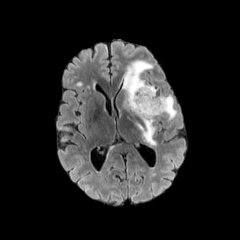
FLAIR MR image.
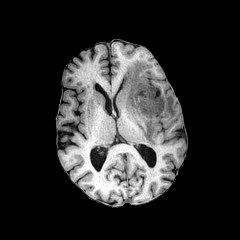
T1-weighted magnetic resonance.
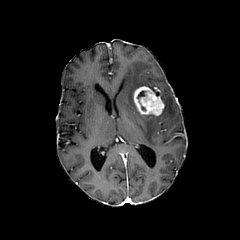
Post-contrast T1-weighted magnetic resonance.
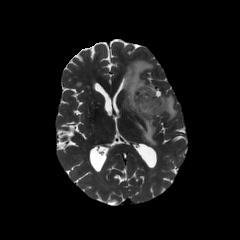
Same slice, T2-weighted MR.
Head. 240x240 px.
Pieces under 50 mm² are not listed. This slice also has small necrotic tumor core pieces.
The enhancing tumor lies within x1=133, y1=86, x2=164, y2=115. 2 peritumoral edema regions are bounded by x1=161, y1=95, x2=177, y2=120; x1=123, y1=60, x2=156, y2=145.